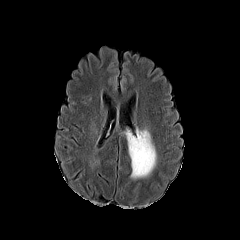
FLAIR magnetic resonance.
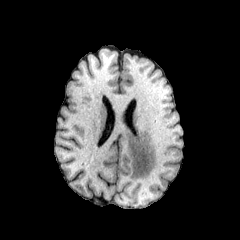
T1-weighted MRI.
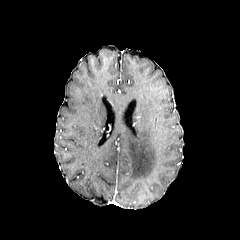
Post-contrast T1-weighted MR.
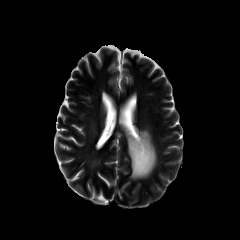
T2-weighted magnetic resonance.
Head, Axial plane
Findings:
• peritumoral edema: bbox(125, 128, 156, 178)